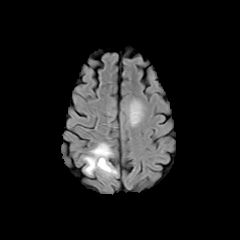
FLAIR MR image.
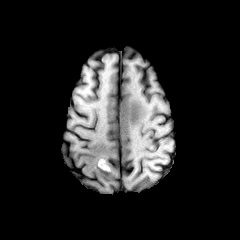
T1-weighted magnetic resonance of the same slice.
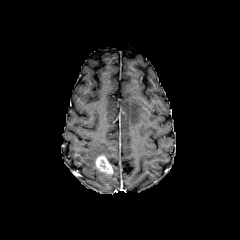
Same slice, post-contrast T1-weighted MRI.
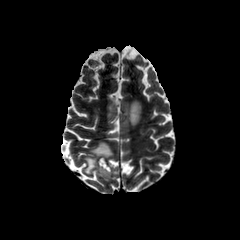
T2-weighted MR image of the same slice.
Brain | 240x240
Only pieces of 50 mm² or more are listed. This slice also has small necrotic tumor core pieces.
enhancing tumor: [95, 155, 113, 174] | peritumoral edema: [127, 99, 142, 125], [84, 142, 112, 174]